FLAIR MR image.
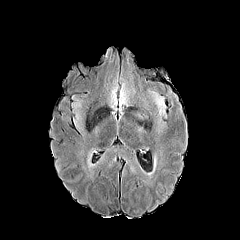
T1-weighted MR image.
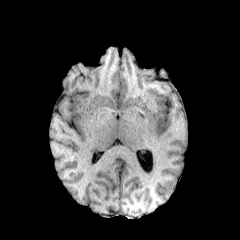
Post-contrast T1-weighted MR.
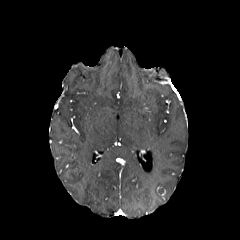
T2-weighted MR image.
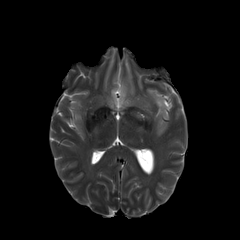
240x240 px
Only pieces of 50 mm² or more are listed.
peritumoral edema: <box>152,93,164,111</box>